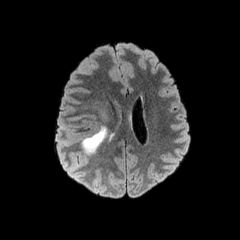
FLAIR MR.
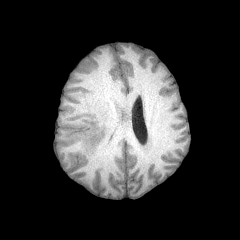
T1-weighted magnetic resonance of the same slice.
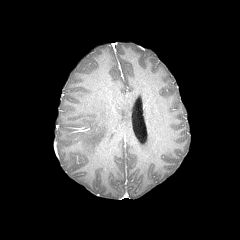
Same slice, post-contrast T1-weighted MR.
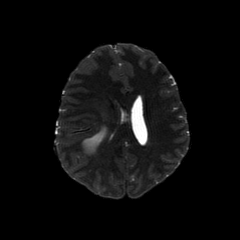
T2-weighted MRI.
Axial plane
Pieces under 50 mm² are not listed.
Findings:
* peritumoral edema: 82:126:107:154